Image width 240 mm, Brain, Slice 65 of 155
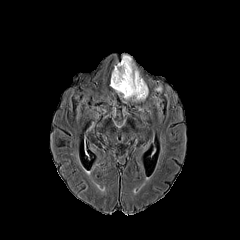
FLAIR MR.
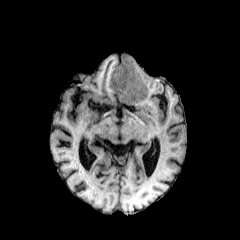
T1-weighted magnetic resonance.
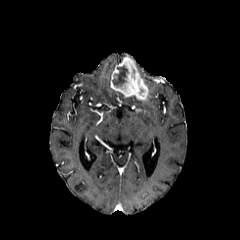
Post-contrast T1-weighted MRI of the same slice.
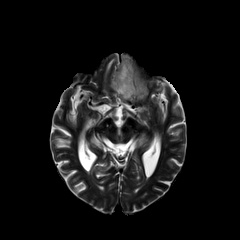
T2-weighted MR image.
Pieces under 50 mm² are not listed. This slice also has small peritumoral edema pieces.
Segmented structures:
• enhancing tumor: {"x1": 110, "y1": 55, "x2": 148, "y2": 100}
• necrotic tumor core: {"x1": 113, "y1": 66, "x2": 127, "y2": 86}